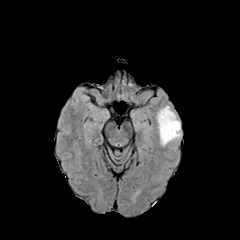
FLAIR MR.
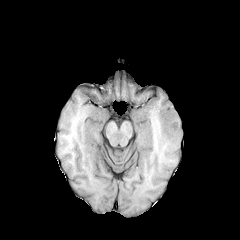
T1-weighted MRI of the same slice.
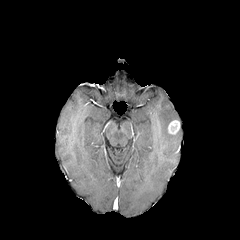
Post-contrast T1-weighted MR.
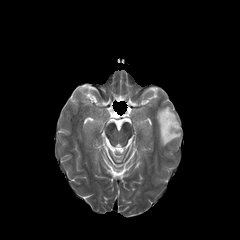
T2-weighted magnetic resonance.
240x240 | Brain
{
  "enhancing_tumor": [
    "left=167, top=120, right=180, bottom=134"
  ],
  "peritumoral_edema": [
    "left=156, top=106, right=181, bottom=146"
  ]
}